FLAIR MRI.
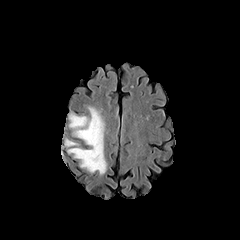
T1-weighted magnetic resonance.
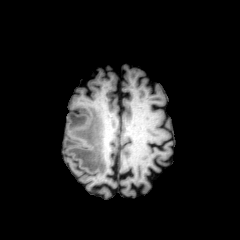
Post-contrast T1-weighted MR image.
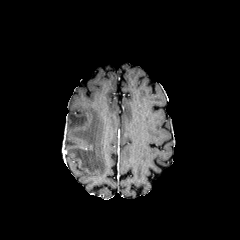
T2-weighted MRI.
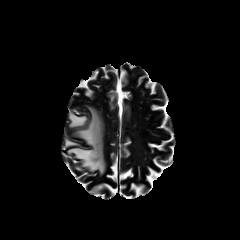
peritumoral edema: bounding box box(65, 106, 106, 175)